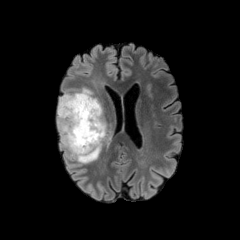
FLAIR MR image.
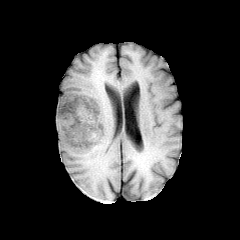
Same slice, T1-weighted MRI.
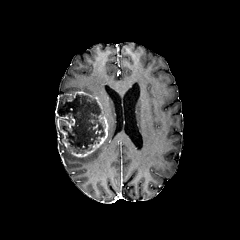
Post-contrast T1-weighted MRI.
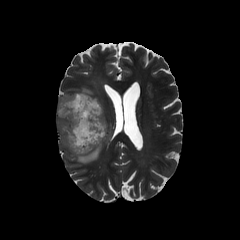
T2-weighted MRI.
240x240 px
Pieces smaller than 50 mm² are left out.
Segmented structures:
• necrotic tumor core: 58:94:104:153
• peritumoral edema: 74:88:93:95, 104:130:111:143, 65:143:103:163
• enhancing tumor: 57:91:108:157